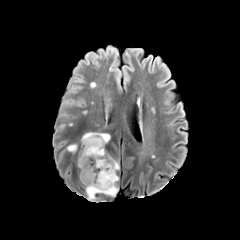
FLAIR magnetic resonance.
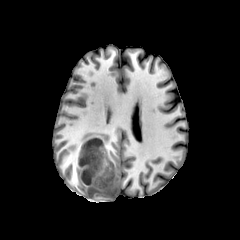
T1-weighted MRI.
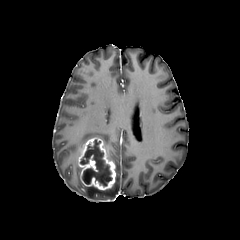
Post-contrast T1-weighted MR image.
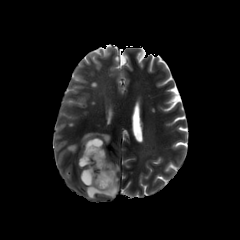
T2-weighted magnetic resonance.
Axial slice
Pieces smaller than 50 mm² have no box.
enhancing tumor at (78,137,115,190)
peritumoral edema at (81,132,110,145), (86,175,118,199), (67,144,77,152)
necrotic tumor core at (80,139,111,185)